FLAIR MR.
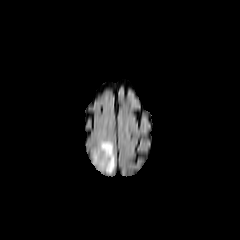
T1-weighted MR.
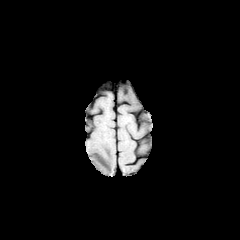
Post-contrast T1-weighted magnetic resonance.
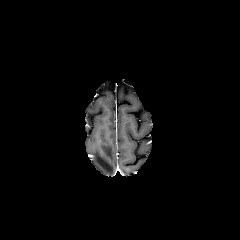
T2-weighted MR.
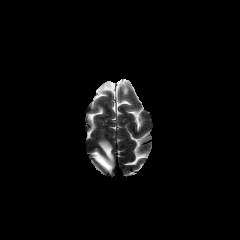
{
  "peritumoral_edema": [
    "l=93, t=140, r=114, b=173"
  ]
}